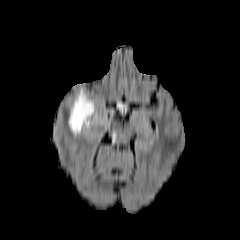
FLAIR MR.
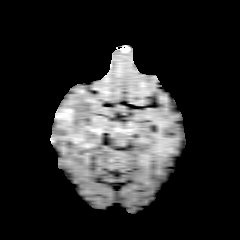
T1-weighted MR image of the same slice.
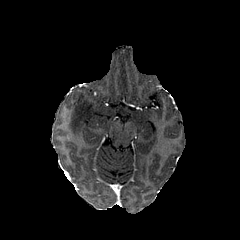
Post-contrast T1-weighted MR of the same slice.
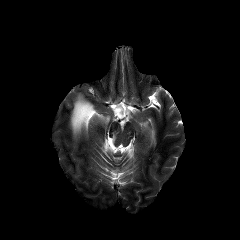
T2-weighted MR of the same slice.
240x240; Head; Axial plane
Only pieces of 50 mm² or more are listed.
The 2 largest peritumoral edema regions are bounded by box(99, 115, 110, 126); box(69, 91, 97, 135).